FLAIR MR image.
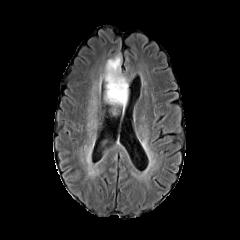
T1-weighted MRI.
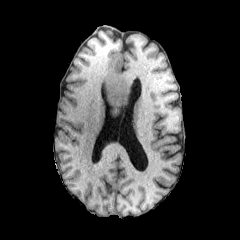
Post-contrast T1-weighted magnetic resonance.
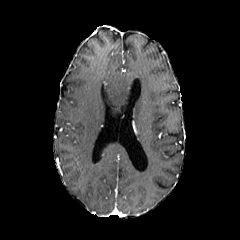
T2-weighted MR.
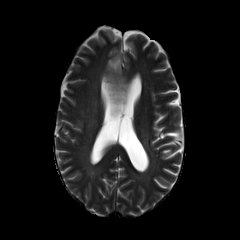
Head
<segmentation>
  <peritumoral_edema>104, 55, 128, 107</peritumoral_edema>
</segmentation>